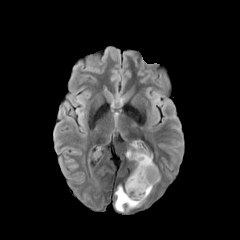
FLAIR magnetic resonance.
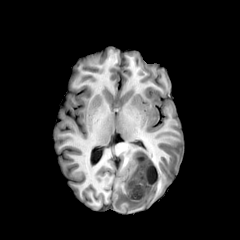
Same slice, T1-weighted MR.
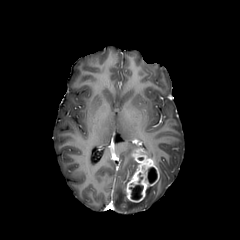
Same slice, post-contrast T1-weighted magnetic resonance.
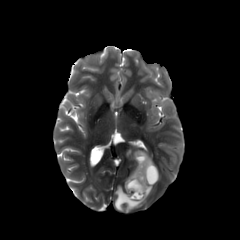
T2-weighted MR.
Axial slice; Brain; 240x240
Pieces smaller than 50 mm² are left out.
The enhancing tumor is bounded by bbox(125, 149, 159, 202). The 2 largest peritumoral edema regions appear at bbox(115, 186, 152, 211); bbox(126, 148, 133, 159). The 2 largest necrotic tumor core regions are located at bbox(129, 185, 143, 199); bbox(147, 167, 157, 183).